Brain | 240x240 px | Image width 240 mm, 1.00 mm slice spacing
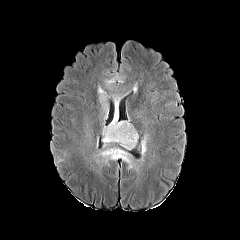
FLAIR MR image.
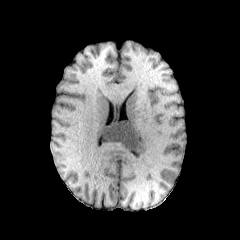
T1-weighted magnetic resonance.
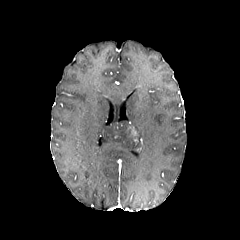
Post-contrast T1-weighted MRI.
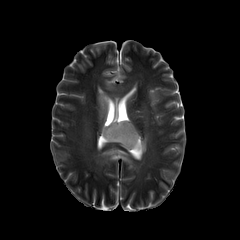
T2-weighted MR.
2 enhancing tumor regions are located at (128, 127, 137, 141), (113, 133, 122, 141). 4 peritumoral edema regions appear at (105, 79, 113, 89), (98, 86, 107, 119), (99, 147, 135, 168), (103, 94, 147, 154).